240x240; Slice index 32
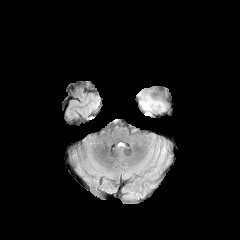
FLAIR magnetic resonance.
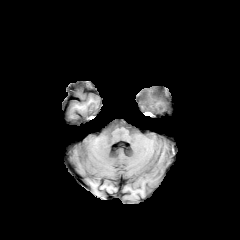
T1-weighted MR image.
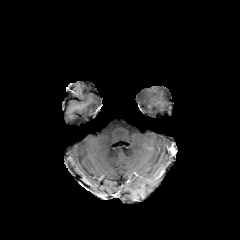
Post-contrast T1-weighted MR image.
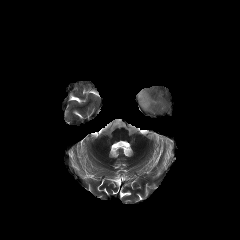
Same slice, T2-weighted magnetic resonance.
peritumoral edema: 136 86 172 117